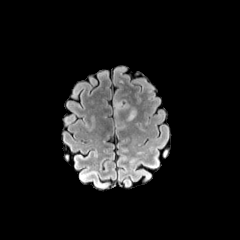
FLAIR MR.
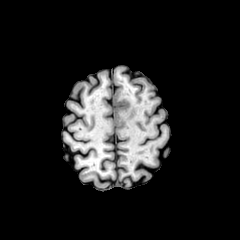
T1-weighted MRI.
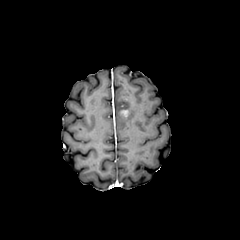
Post-contrast T1-weighted magnetic resonance.
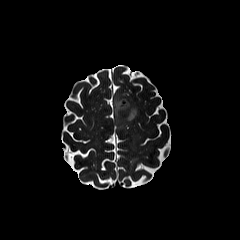
T2-weighted MRI.
Axial view | Head
<segmentation>
  <enhancing_tumor>[120,110,128,116]</enhancing_tumor>
  <peritumoral_edema>[114,97,136,120]</peritumoral_edema>
</segmentation>